Brain, Slice 123/155, 240x240
FLAIR MRI.
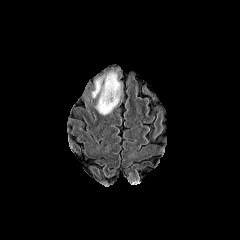
T1-weighted MRI.
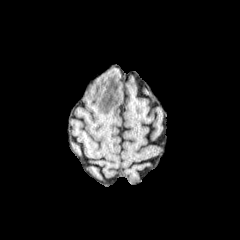
Post-contrast T1-weighted MRI.
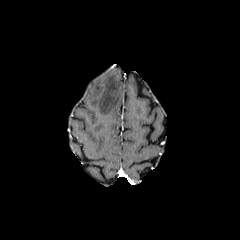
T2-weighted MRI.
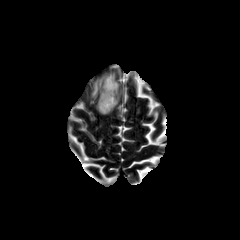
{
  "peritumoral_edema": [
    "l=92, t=72, r=120, b=114"
  ]
}